240x240; Image width 240 mm, 1.00 mm slice spacing
FLAIR MRI.
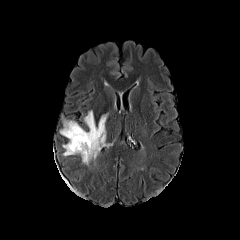
T1-weighted magnetic resonance.
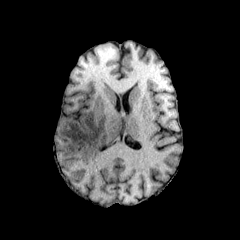
Post-contrast T1-weighted magnetic resonance.
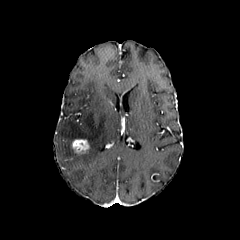
T2-weighted magnetic resonance.
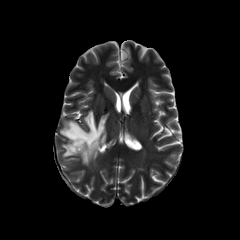
{"peritumoral_edema": ["60, 110, 108, 165"], "enhancing_tumor": ["71, 138, 89, 153"]}